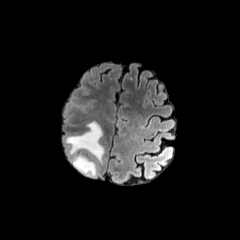
FLAIR magnetic resonance.
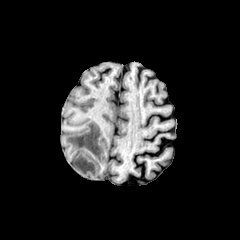
T1-weighted magnetic resonance of the same slice.
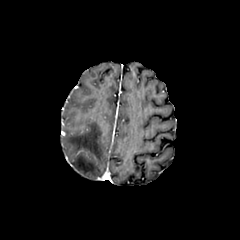
Same slice, post-contrast T1-weighted MR image.
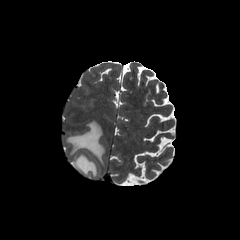
Same slice, T2-weighted magnetic resonance.
Head
Findings:
* peritumoral edema: x1=73, y1=155, x2=96, y2=176; x1=66, y1=121, x2=104, y2=162